240x240 px. Slice 92/155.
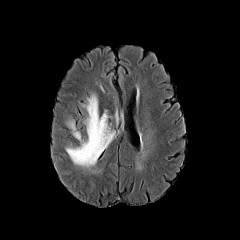
FLAIR MRI.
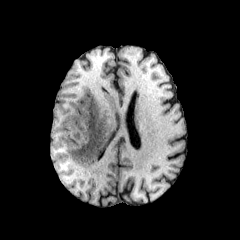
T1-weighted MR of the same slice.
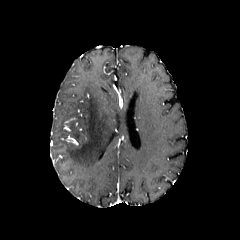
Same slice, post-contrast T1-weighted MRI.
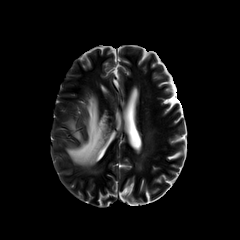
T2-weighted MR.
peritumoral edema: bounding box box=[66, 94, 113, 167]